Axial view | Head | Slice index 78 | Image width 240 mm
FLAIR MRI.
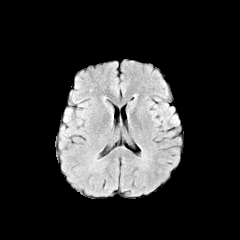
T1-weighted magnetic resonance.
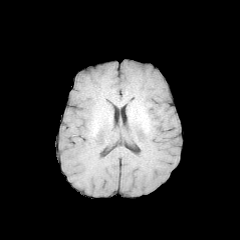
Post-contrast T1-weighted MR image.
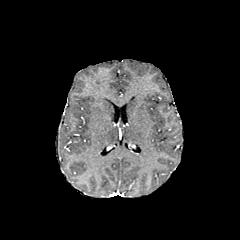
T2-weighted magnetic resonance.
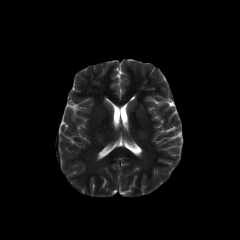
Annotated regions:
• peritumoral edema: [63,108,71,122]